Head
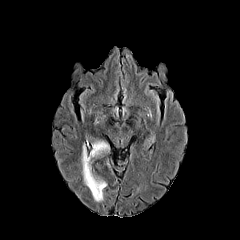
FLAIR MRI.
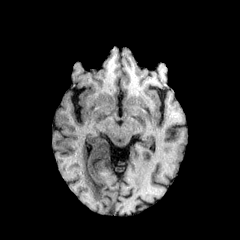
T1-weighted magnetic resonance.
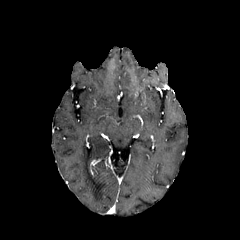
Post-contrast T1-weighted MR.
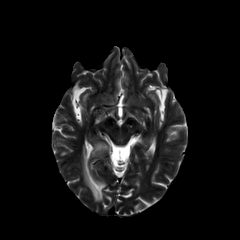
T2-weighted MR image.
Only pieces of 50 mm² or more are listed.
peritumoral edema — {"x1": 82, "y1": 138, "x2": 110, "y2": 201}